Brain. Axial plane. Image width 240 mm.
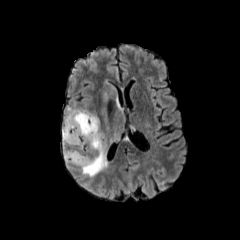
FLAIR MRI.
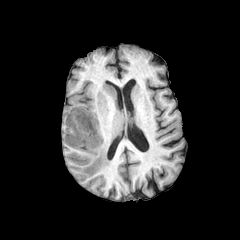
T1-weighted magnetic resonance.
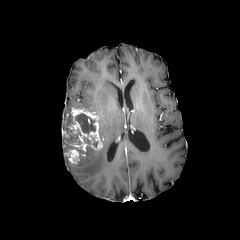
Post-contrast T1-weighted MRI.
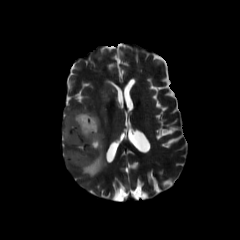
T2-weighted MRI.
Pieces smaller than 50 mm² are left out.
The largest necrotic tumor core region is located at 75,113,95,134. The 2 largest peritumoral edema regions are located at 76,78,126,176; 64,102,77,119. The largest enhancing tumor region is bounded by 62,107,103,164.